Image size 240x240 | Slice 75 of 155 | Brain
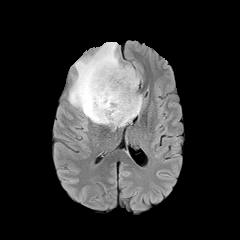
FLAIR MRI.
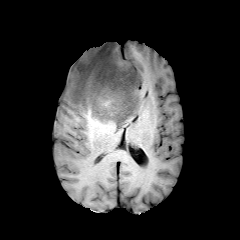
T1-weighted MR of the same slice.
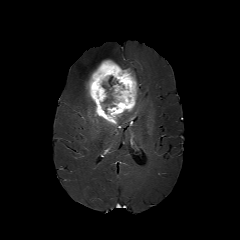
Post-contrast T1-weighted MRI.
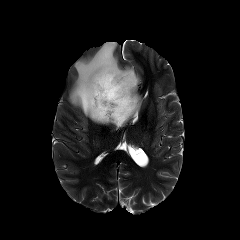
T2-weighted MRI of the same slice.
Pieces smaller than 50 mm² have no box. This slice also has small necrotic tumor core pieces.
<segmentation>
  <peritumoral_edema><bbox>113, 94, 142, 128</bbox>, <bbox>68, 42, 139, 125</bbox></peritumoral_edema>
  <enhancing_tumor><bbox>86, 59, 137, 125</bbox></enhancing_tumor>
</segmentation>